FLAIR MR image.
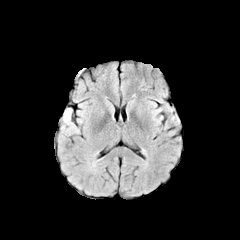
T1-weighted MRI.
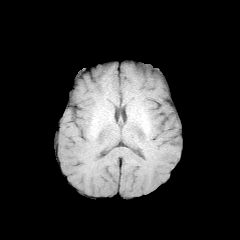
Post-contrast T1-weighted MR image.
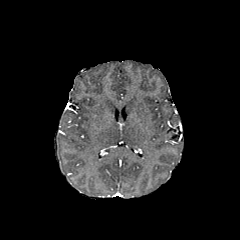
T2-weighted magnetic resonance.
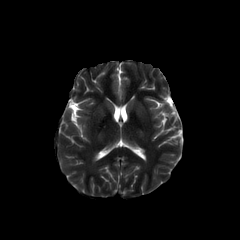
Axial plane | 240x240 px
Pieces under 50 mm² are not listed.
peritumoral_edema:
  - (63, 108, 71, 124)